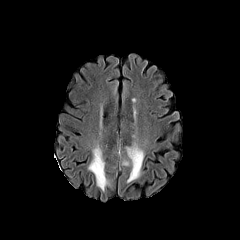
FLAIR MR image.
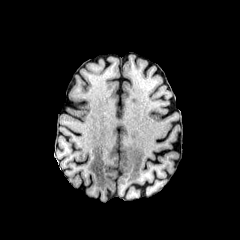
T1-weighted MRI of the same slice.
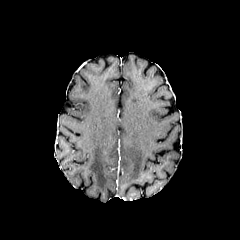
Post-contrast T1-weighted MR.
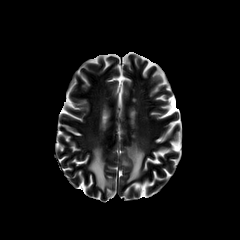
T2-weighted MRI.
Axial view. 240x240.
Segmented structures:
• peritumoral edema: [x1=88, y1=145, x2=110, y2=191], [x1=122, y1=143, x2=144, y2=182]